Axial plane
FLAIR MRI.
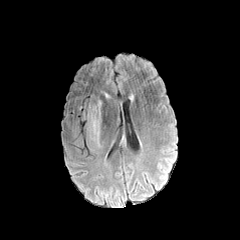
T1-weighted MRI.
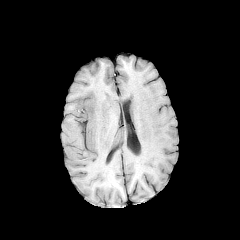
Post-contrast T1-weighted MR.
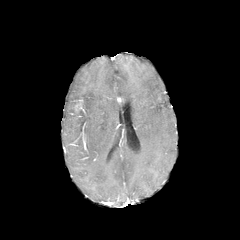
T2-weighted magnetic resonance.
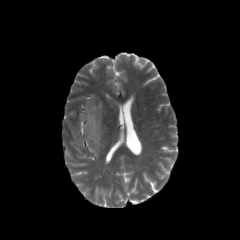
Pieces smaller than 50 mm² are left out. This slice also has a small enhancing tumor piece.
peritumoral edema at 87 101 101 147